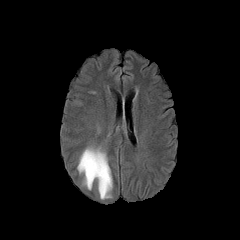
FLAIR MR image.
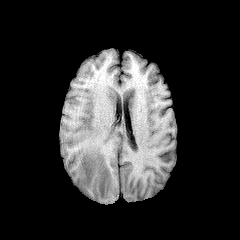
T1-weighted MRI of the same slice.
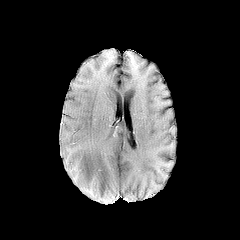
Post-contrast T1-weighted MRI.
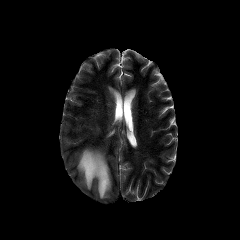
T2-weighted MRI.
Axial slice, Head
{"peritumoral_edema": ["<bbox>77, 147, 112, 199</bbox>"]}